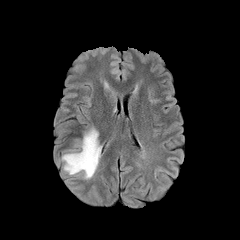
FLAIR magnetic resonance.
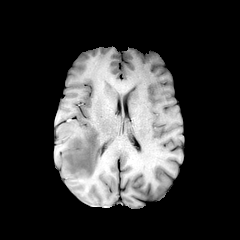
Same slice, T1-weighted magnetic resonance.
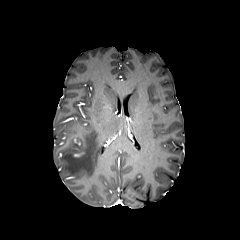
Post-contrast T1-weighted magnetic resonance.
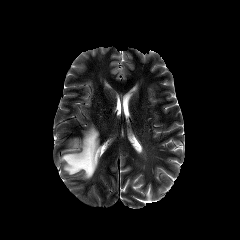
T2-weighted MR image.
Image size 240x240
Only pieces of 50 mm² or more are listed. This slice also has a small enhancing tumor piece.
peritumoral edema: bounding box <box>61,127,101,179</box>